FLAIR MRI.
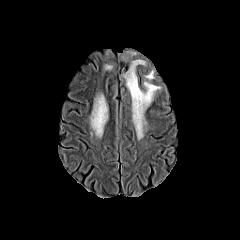
T1-weighted MRI.
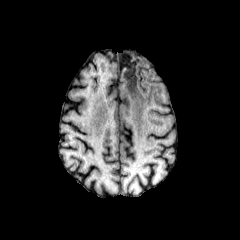
Post-contrast T1-weighted magnetic resonance.
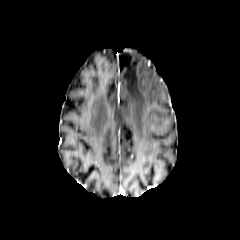
T2-weighted MRI.
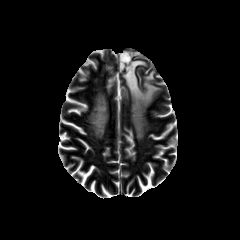
Axial slice; Brain
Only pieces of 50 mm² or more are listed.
peritumoral edema — [145,70,153,80], [90,96,107,132], [121,52,160,139]